Axial view | Image size 240x240
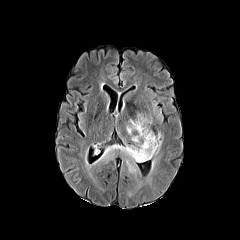
FLAIR magnetic resonance.
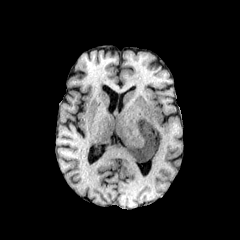
T1-weighted magnetic resonance.
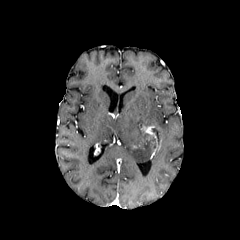
Post-contrast T1-weighted MR image.
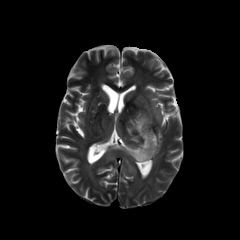
Same slice, T2-weighted magnetic resonance.
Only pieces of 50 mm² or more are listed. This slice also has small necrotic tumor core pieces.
2 peritumoral edema regions appear at 144:156:159:186, 97:112:164:173. The enhancing tumor is at 141:126:155:140.